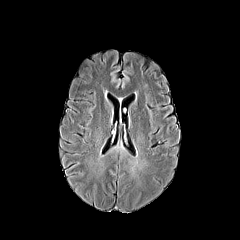
FLAIR MR.
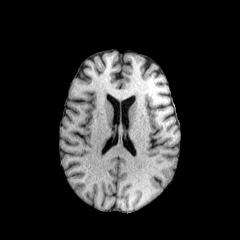
T1-weighted MRI of the same slice.
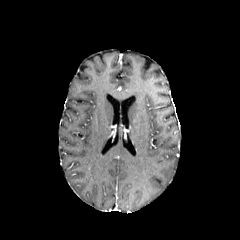
Same slice, post-contrast T1-weighted magnetic resonance.
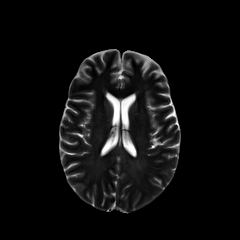
Same slice, T2-weighted MR image.
240x240, Axial view, Head
{
  "peritumoral_edema": [
    "box=[131, 159, 138, 171]"
  ]
}